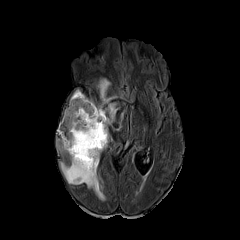
FLAIR MR.
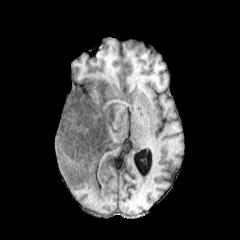
T1-weighted MR.
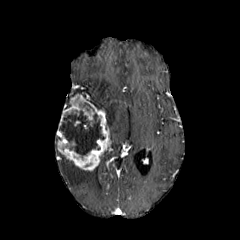
Post-contrast T1-weighted MRI.
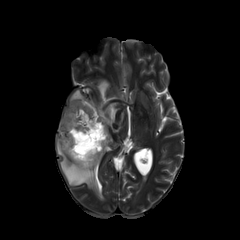
T2-weighted magnetic resonance.
Axial slice
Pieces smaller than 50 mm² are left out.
necrotic tumor core: bounding box {"x1": 59, "y1": 110, "x2": 104, "y2": 157}
peritumoral edema: bounding box {"x1": 89, "y1": 79, "x2": 118, "y2": 125}, {"x1": 60, "y1": 155, "x2": 104, "y2": 200}
enhancing tumor: bounding box {"x1": 56, "y1": 93, "x2": 110, "y2": 170}